Image covers 240 mm x 240 mm, Slice index 110, Axial plane
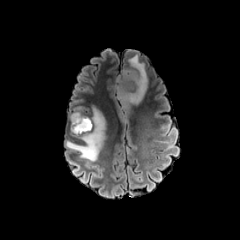
FLAIR magnetic resonance.
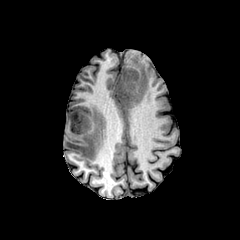
T1-weighted MRI of the same slice.
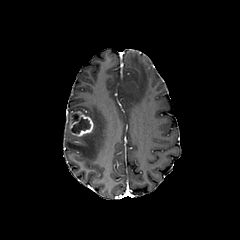
Post-contrast T1-weighted MRI.
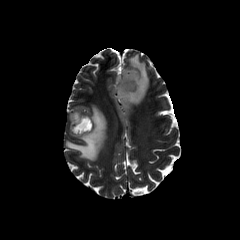
T2-weighted MR.
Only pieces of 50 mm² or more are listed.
The largest necrotic tumor core region appears at 72, 118, 90, 133. The enhancing tumor lies within 70, 111, 93, 136. The 2 largest peritumoral edema regions appear at 114, 54, 148, 107; 66, 106, 105, 161.